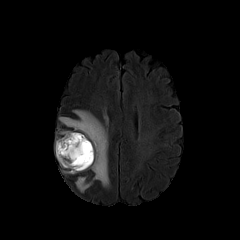
FLAIR MR image.
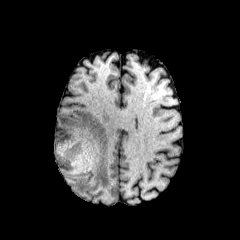
Same slice, T1-weighted magnetic resonance.
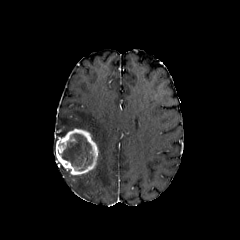
Post-contrast T1-weighted MR image.
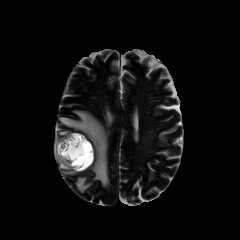
T2-weighted MR.
Brain, Axial slice
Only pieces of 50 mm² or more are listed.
The enhancing tumor appears at 55:128:98:174. The necrotic tumor core lies within 62:134:92:170. The 2 largest peritumoral edema regions are located at 75:176:92:192, 59:110:109:187.